FLAIR MR image.
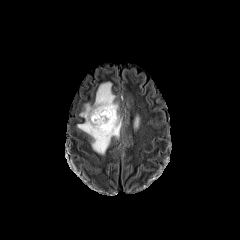
T1-weighted MR.
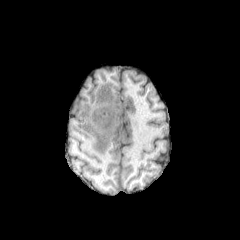
Post-contrast T1-weighted MR image.
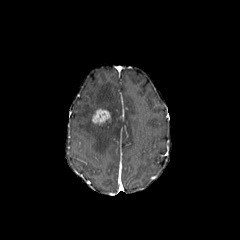
T2-weighted MR image.
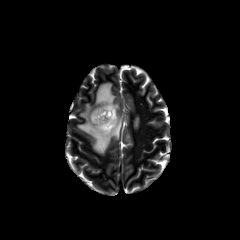
Axial plane | 240x240 | Brain
<segmentation>
  <peritumoral_edema>134,116,139,128; 77,82,121,154</peritumoral_edema>
  <enhancing_tumor>92,108,110,124</enhancing_tumor>
</segmentation>